Axial slice. Slice index 49. Brain.
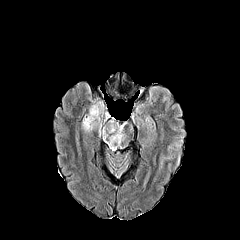
FLAIR MR.
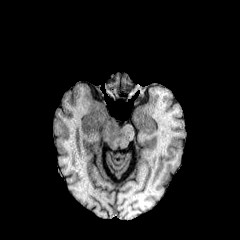
T1-weighted magnetic resonance of the same slice.
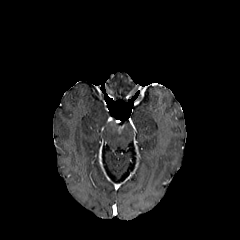
Post-contrast T1-weighted magnetic resonance.
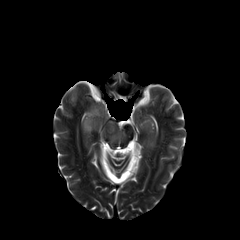
T2-weighted magnetic resonance.
peritumoral edema: (x1=102, y1=120, x2=125, y2=148), (x1=82, y1=102, x2=108, y2=133)